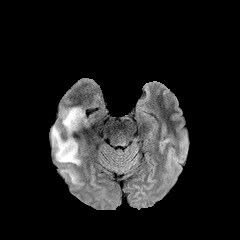
FLAIR MRI.
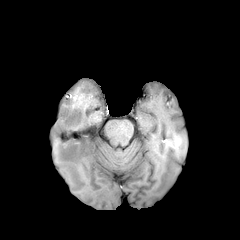
Same slice, T1-weighted MR.
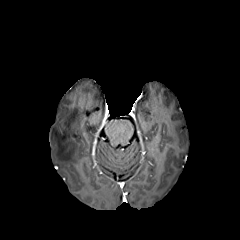
Same slice, post-contrast T1-weighted MRI.
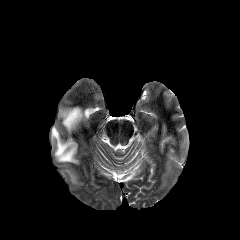
T2-weighted MRI.
Axial plane
peritumoral_edema:
  - x1=51 y1=126 x2=79 y2=164
  - x1=65 y1=170 x2=76 y2=183
  - x1=61 y1=107 x2=84 y2=132